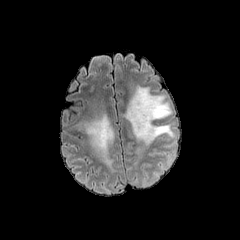
FLAIR MR.
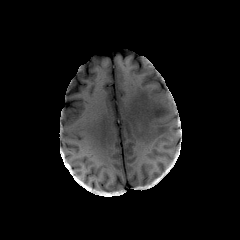
Same slice, T1-weighted magnetic resonance.
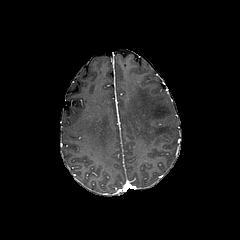
Same slice, post-contrast T1-weighted MR image.
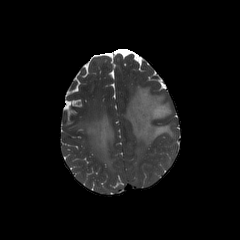
T2-weighted MRI.
240x240 px, Axial plane
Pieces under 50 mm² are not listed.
peritumoral edema = <bbox>124, 85, 175, 146</bbox>, <bbox>78, 114, 114, 167</bbox>